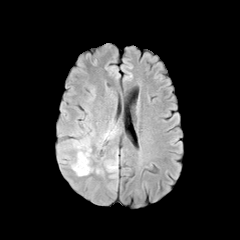
FLAIR MR image.
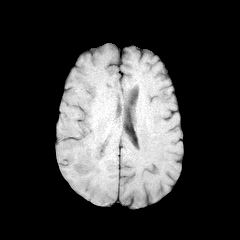
T1-weighted magnetic resonance.
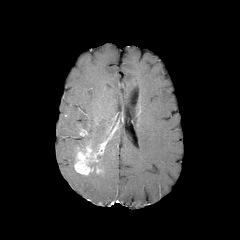
Post-contrast T1-weighted MR.
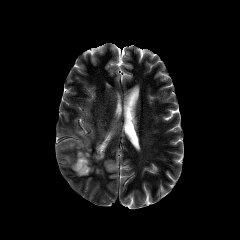
T2-weighted MRI.
240x240 px
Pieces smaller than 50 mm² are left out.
enhancing tumor: <box>74,143,104,175</box> | peritumoral edema: <box>105,160,117,171</box>, <box>92,126,117,153</box>, <box>68,131,90,151</box>, <box>70,158,85,176</box>